FLAIR MR.
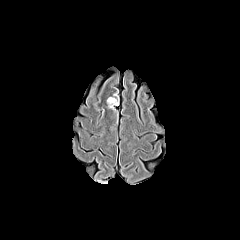
T1-weighted MR image.
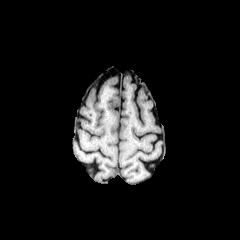
Post-contrast T1-weighted magnetic resonance.
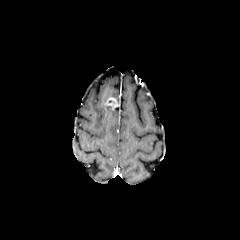
T2-weighted magnetic resonance.
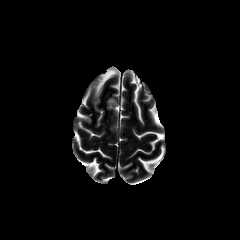
240x240 px
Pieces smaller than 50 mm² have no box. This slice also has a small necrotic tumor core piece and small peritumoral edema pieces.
{
  "enhancing_tumor": [
    "bbox(106, 97, 117, 108)"
  ]
}